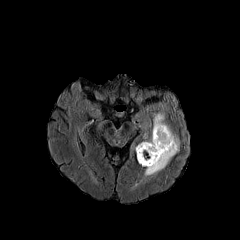
FLAIR magnetic resonance.
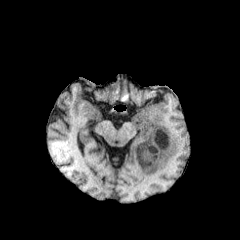
T1-weighted MR of the same slice.
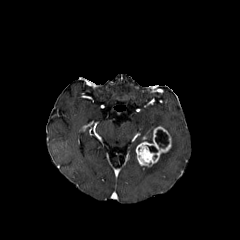
Post-contrast T1-weighted magnetic resonance.
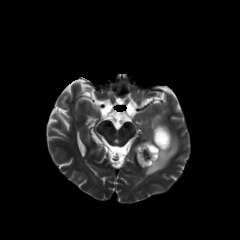
Same slice, T2-weighted magnetic resonance.
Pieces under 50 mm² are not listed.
<segmentation>
  <enhancing_tumor>136 126 171 166</enhancing_tumor>
  <necrotic_tumor_core>146 145 157 152, 155 129 168 148</necrotic_tumor_core>
  <peritumoral_edema>134 113 179 187</peritumoral_edema>
</segmentation>